Axial view | Head | Slice 54 of 155
FLAIR MR.
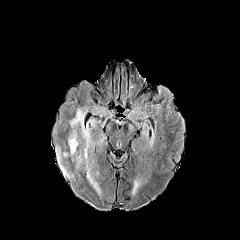
T1-weighted MRI.
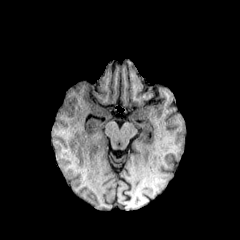
Post-contrast T1-weighted MR image.
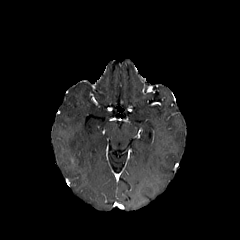
T2-weighted magnetic resonance.
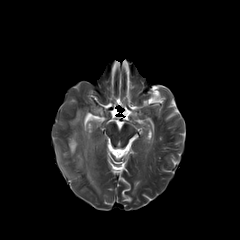
Segmented structures:
* peritumoral edema: x1=56, y1=145, x2=69, y2=176; x1=70, y1=109, x2=100, y2=193; x1=69, y1=133, x2=78, y2=154